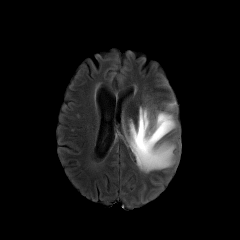
FLAIR MRI.
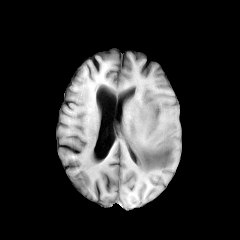
T1-weighted MRI.
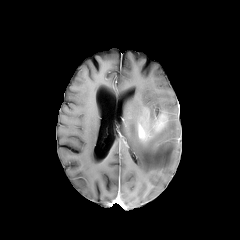
Post-contrast T1-weighted MRI of the same slice.
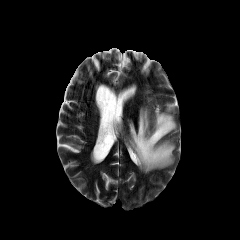
T2-weighted MR of the same slice.
Image size 240x240 | Axial slice
{
  "enhancing_tumor": [
    "153 115 165 130",
    "139 116 148 138"
  ],
  "peritumoral_edema": [
    "127 101 176 172"
  ]
}